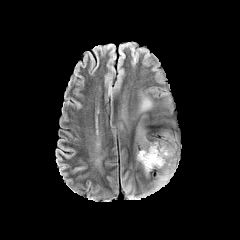
FLAIR MR.
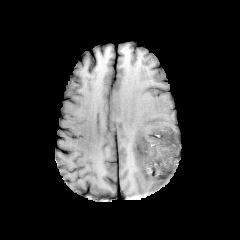
T1-weighted MR of the same slice.
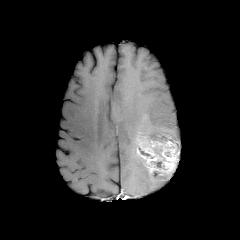
Post-contrast T1-weighted MR of the same slice.
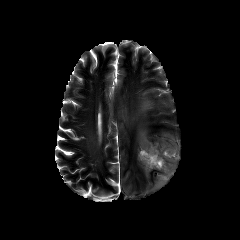
T2-weighted MRI.
240x240 px
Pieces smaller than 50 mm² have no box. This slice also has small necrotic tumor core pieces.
The largest peritumoral edema region is at {"x1": 155, "y1": 179, "x2": 168, "y2": 188}. The enhancing tumor lies within {"x1": 136, "y1": 134, "x2": 179, "y2": 181}.